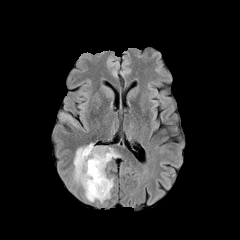
FLAIR magnetic resonance.
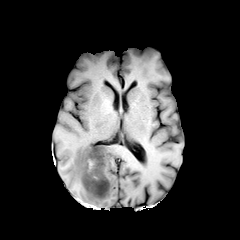
T1-weighted magnetic resonance.
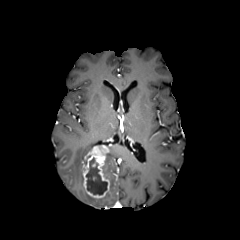
Post-contrast T1-weighted magnetic resonance.
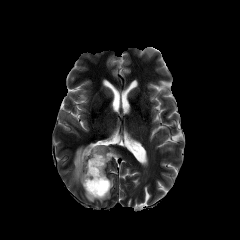
T2-weighted MR of the same slice.
Brain
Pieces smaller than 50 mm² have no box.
peritumoral edema — box=[103, 147, 118, 177]; box=[73, 143, 93, 186]; box=[85, 178, 113, 203]
necrotic tumor core — box=[86, 158, 107, 194]
enhancing tumor — box=[82, 146, 110, 198]